FLAIR MR image.
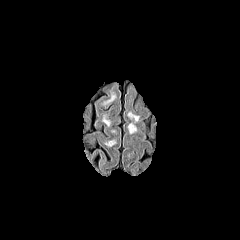
T1-weighted magnetic resonance.
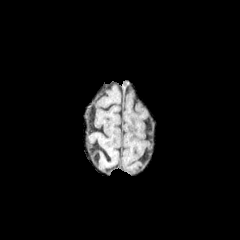
Post-contrast T1-weighted MR.
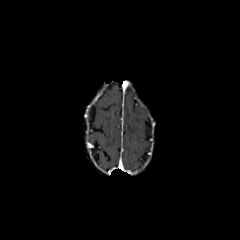
T2-weighted magnetic resonance.
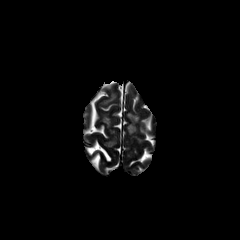
Brain. 240x240 px.
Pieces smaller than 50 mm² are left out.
Annotated regions:
- peritumoral edema: (128,124,136,133)